Image covers 240 mm x 240 mm; Slice index 62
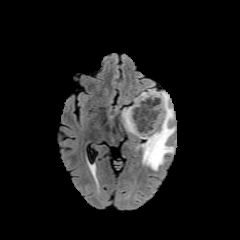
FLAIR magnetic resonance.
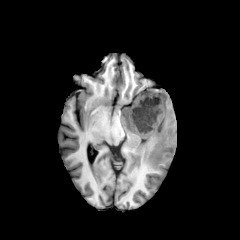
T1-weighted MRI.
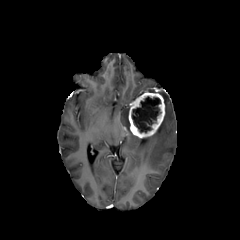
Post-contrast T1-weighted MRI.
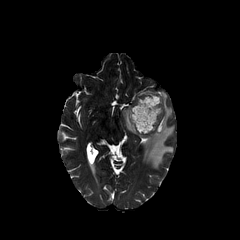
T2-weighted MRI of the same slice.
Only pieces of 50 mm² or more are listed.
enhancing tumor: 128:90:165:137 | peritumoral edema: 122:107:131:132, 140:91:175:170 | necrotic tumor core: 132:96:160:132